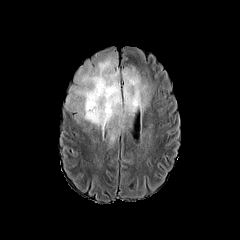
FLAIR MR.
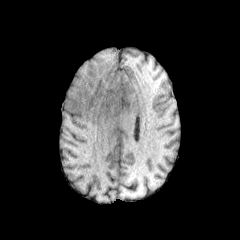
Same slice, T1-weighted magnetic resonance.
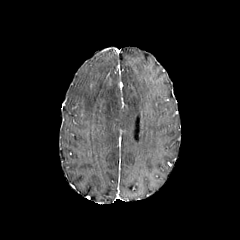
Post-contrast T1-weighted magnetic resonance of the same slice.
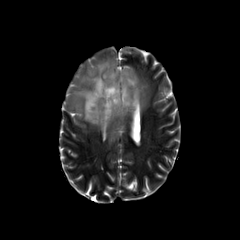
T2-weighted MR of the same slice.
Brain | 240x240 px
The peritumoral edema is at rect(65, 53, 151, 141).